Axial view.
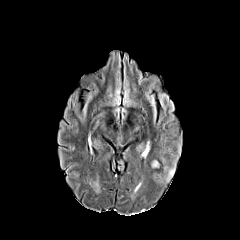
FLAIR MR image.
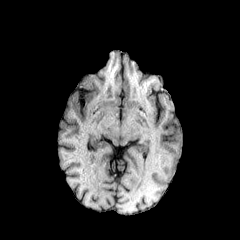
T1-weighted magnetic resonance of the same slice.
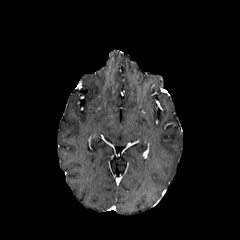
Post-contrast T1-weighted MR image.
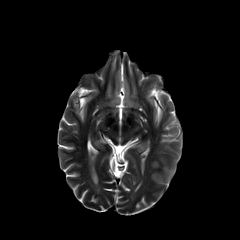
T2-weighted MRI.
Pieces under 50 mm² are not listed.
peritumoral_edema:
  - x1=167, y1=168, x2=174, y2=180